FLAIR magnetic resonance.
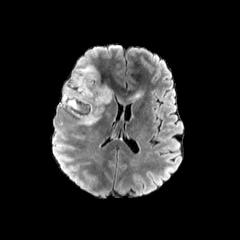
T1-weighted MR image.
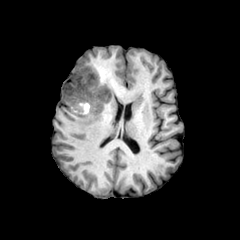
Post-contrast T1-weighted MRI.
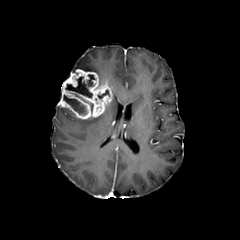
T2-weighted MRI.
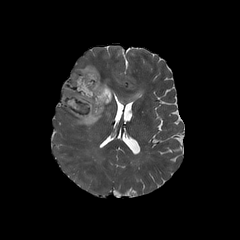
Axial view | Head
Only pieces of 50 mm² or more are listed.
enhancing tumor — [58,69,113,119]
necrotic tumor core — [63,95,87,114], [66,74,94,97]
peritumoral edema — [73,58,99,76], [76,115,101,125], [129,89,144,101]